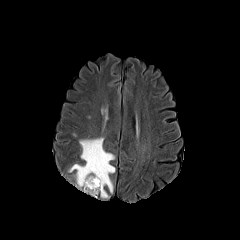
FLAIR magnetic resonance.
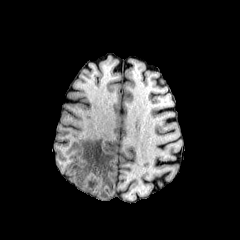
Same slice, T1-weighted MR.
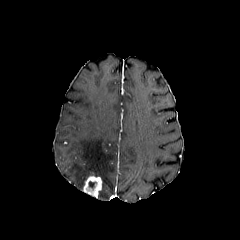
Same slice, post-contrast T1-weighted MRI.
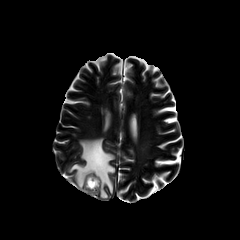
T2-weighted MR image.
The necrotic tumor core appears at bbox=[87, 177, 98, 188]. The enhancing tumor lies within bbox=[83, 172, 102, 197]. The peritumoral edema is bounded by bbox=[68, 137, 115, 198].